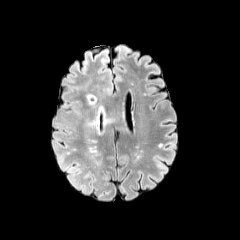
FLAIR magnetic resonance.
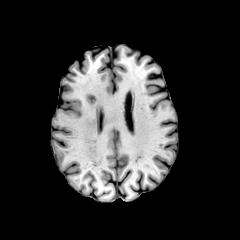
T1-weighted MR image.
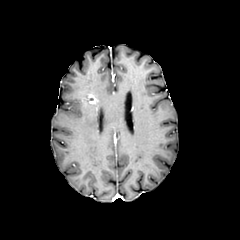
Post-contrast T1-weighted MRI of the same slice.
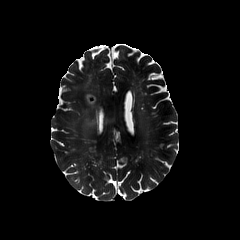
T2-weighted MR image.
Brain.
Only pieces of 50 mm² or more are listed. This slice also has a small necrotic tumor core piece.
peritumoral edema = region(84, 118, 95, 128); region(74, 80, 95, 106)
enhancing tumor = region(88, 94, 96, 103)